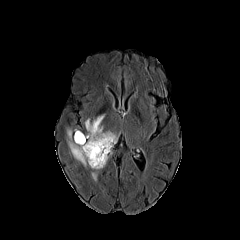
FLAIR MRI.
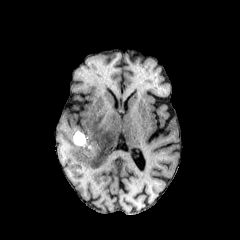
T1-weighted MR image of the same slice.
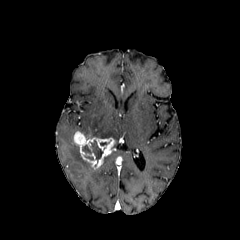
Post-contrast T1-weighted magnetic resonance of the same slice.
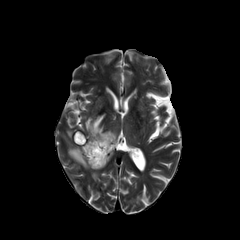
T2-weighted magnetic resonance.
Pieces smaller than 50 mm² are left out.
enhancing tumor = 79,134,115,169
necrotic tumor core = 82,145,91,153; 89,140,103,162
peritumoral edema = 85,115,118,141; 96,155,110,170; 67,129,93,168